FLAIR MR.
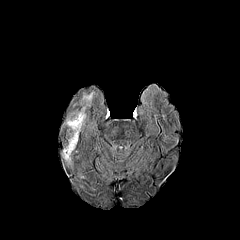
T1-weighted MR.
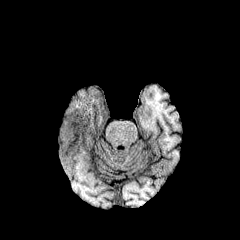
Post-contrast T1-weighted MRI.
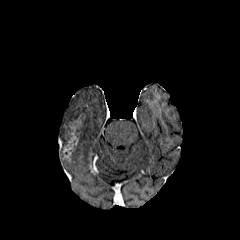
T2-weighted MR.
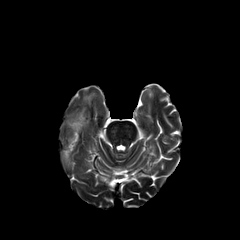
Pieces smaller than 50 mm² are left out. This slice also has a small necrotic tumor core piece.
peritumoral edema: [x1=66, y1=106, x2=86, y2=137], [x1=82, y1=93, x2=92, y2=105] | enhancing tumor: [x1=63, y1=117, x2=81, y2=160]